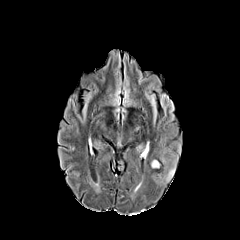
FLAIR MRI.
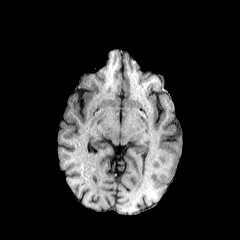
T1-weighted MRI of the same slice.
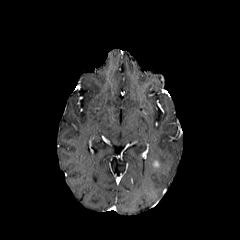
Post-contrast T1-weighted MRI of the same slice.
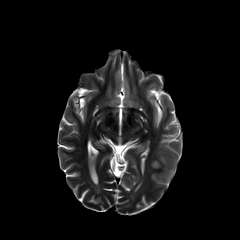
T2-weighted MRI.
Axial slice. Head.
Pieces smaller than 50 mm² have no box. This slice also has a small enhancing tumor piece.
peritumoral edema: bounding box (166, 168, 175, 180)